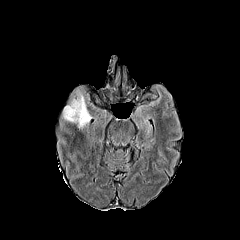
FLAIR MR image.
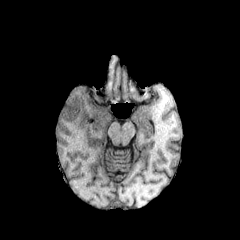
T1-weighted magnetic resonance.
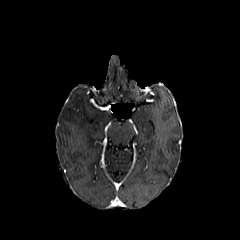
Same slice, post-contrast T1-weighted MR image.
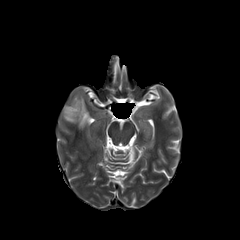
T2-weighted MRI of the same slice.
Head.
peritumoral edema: [63,93,91,128]